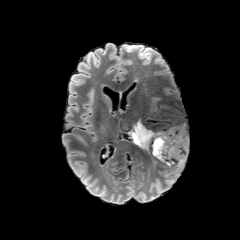
FLAIR MRI.
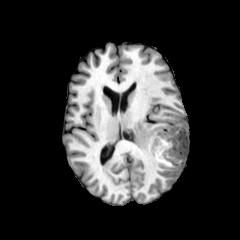
T1-weighted MRI of the same slice.
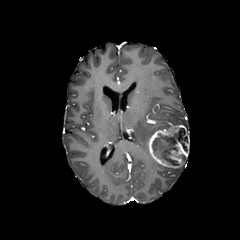
Same slice, post-contrast T1-weighted MR.
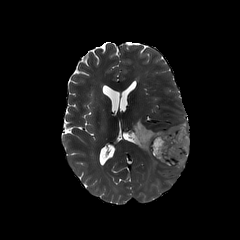
T2-weighted magnetic resonance.
Head
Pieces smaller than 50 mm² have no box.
necrotic tumor core: left=152, top=128, right=187, bottom=165
peritumoral edema: left=129, top=119, right=155, bottom=153
enhancing tumor: left=148, top=124, right=189, bottom=168